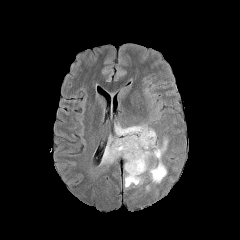
FLAIR MRI.
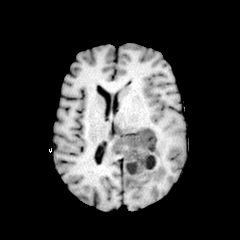
T1-weighted MR.
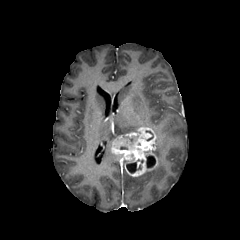
Same slice, post-contrast T1-weighted magnetic resonance.
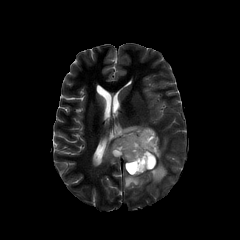
T2-weighted MRI of the same slice.
Brain, Axial slice
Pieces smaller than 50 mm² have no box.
Segmented structures:
* peritumoral edema: box=[102, 139, 119, 163]; box=[115, 124, 147, 138]; box=[124, 173, 143, 187]; box=[148, 140, 167, 183]
* necrotic tumor core: box=[146, 155, 155, 168]; box=[126, 159, 141, 173]
* enhancing tumor: box=[111, 127, 157, 176]